FLAIR magnetic resonance.
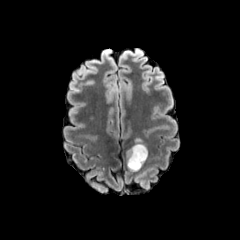
T1-weighted MR.
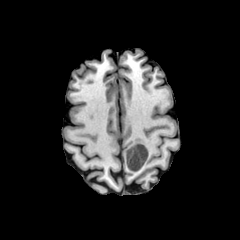
Post-contrast T1-weighted MRI.
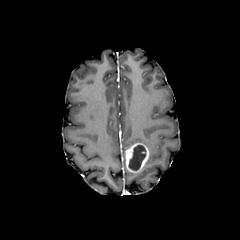
T2-weighted magnetic resonance.
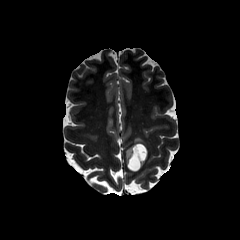
Head
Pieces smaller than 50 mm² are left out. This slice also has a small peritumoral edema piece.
Segmented structures:
• enhancing tumor: box=[125, 143, 148, 172]
• necrotic tumor core: box=[128, 145, 146, 170]